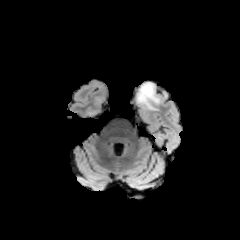
FLAIR MR image.
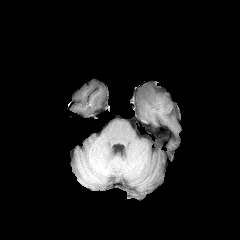
T1-weighted MRI.
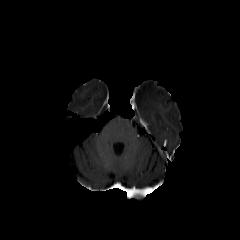
Same slice, post-contrast T1-weighted MR.
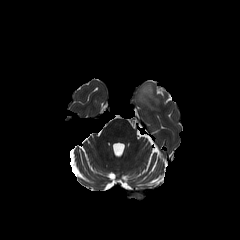
T2-weighted MRI of the same slice.
240x240 px | Head
<segmentation>
  <peritumoral_edema>[x1=136, y1=82, x2=162, y2=107]</peritumoral_edema>
</segmentation>